FLAIR magnetic resonance.
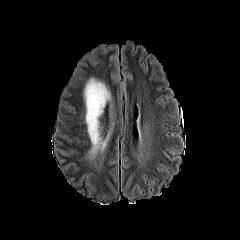
T1-weighted MR.
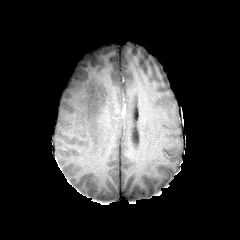
Post-contrast T1-weighted magnetic resonance.
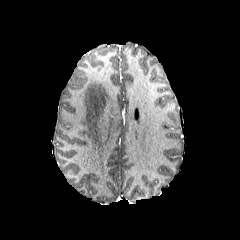
T2-weighted MRI.
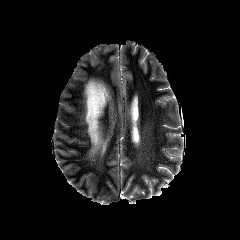
Axial view, Head
- peritumoral edema: [84,78,110,155]